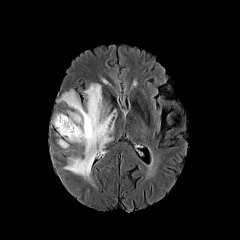
FLAIR MRI.
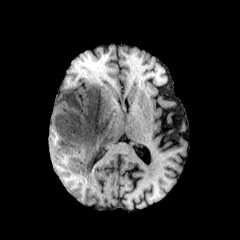
T1-weighted MRI.
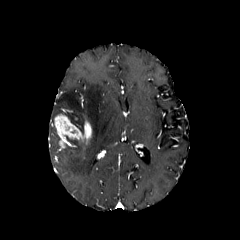
Same slice, post-contrast T1-weighted MR image.
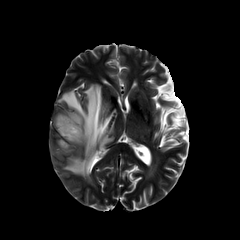
T2-weighted MR image.
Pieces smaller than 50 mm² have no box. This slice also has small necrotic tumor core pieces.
The largest enhancing tumor region appears at (54, 113, 92, 148). The largest peritumoral edema region is at (56, 83, 116, 181).